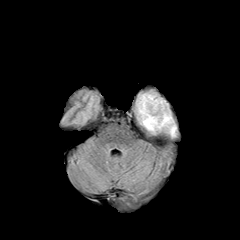
FLAIR MRI.
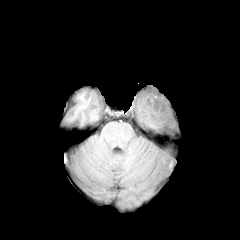
Same slice, T1-weighted MRI.
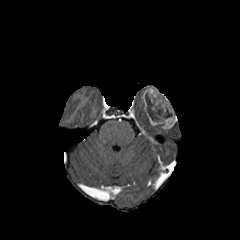
Post-contrast T1-weighted MR image of the same slice.
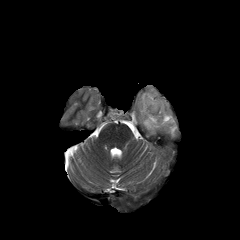
T2-weighted magnetic resonance.
Head
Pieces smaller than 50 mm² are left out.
2 peritumoral edema regions are located at (166,124,176,136), (136,92,162,130). The largest necrotic tumor core region lies within (145,93,172,121). The enhancing tumor is at (141,86,177,129).